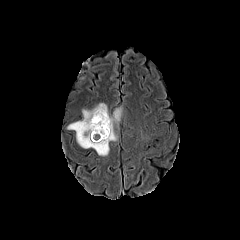
FLAIR MR.
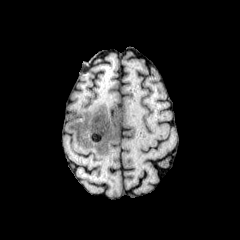
T1-weighted MRI of the same slice.
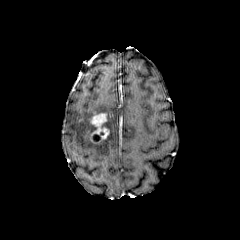
Post-contrast T1-weighted MR image.
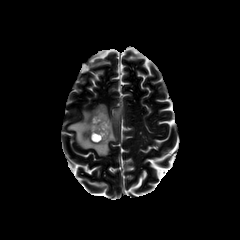
T2-weighted magnetic resonance of the same slice.
240x240 px, Brain, Axial plane
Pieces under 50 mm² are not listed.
The largest necrotic tumor core region lies within <box>92,134,100,141</box>. The peritumoral edema lies within <box>67,103,120,155</box>. The largest enhancing tumor region is at <box>90,113,109,142</box>.